240x240.
FLAIR magnetic resonance.
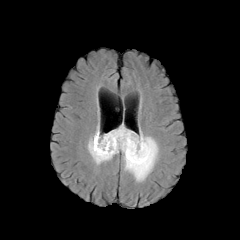
T1-weighted magnetic resonance.
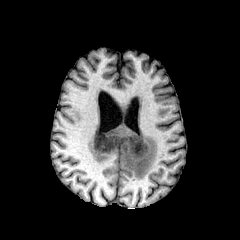
Post-contrast T1-weighted magnetic resonance.
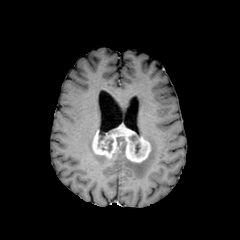
T2-weighted magnetic resonance.
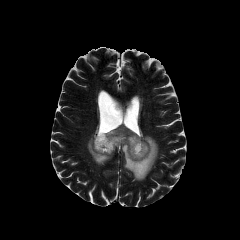
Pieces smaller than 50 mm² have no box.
enhancing tumor at 92, 125, 150, 162
peritumoral edema at 87, 134, 109, 164; 120, 131, 158, 181
necrotic tumor core at 117, 137, 126, 149; 106, 139, 113, 151